Slice 87/155.
FLAIR MRI.
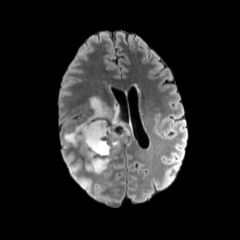
T1-weighted MR image.
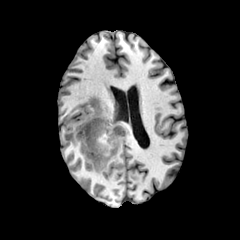
Post-contrast T1-weighted magnetic resonance.
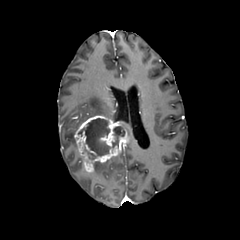
T2-weighted MR.
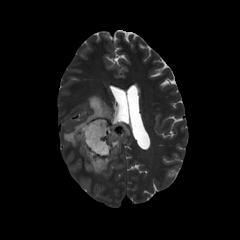
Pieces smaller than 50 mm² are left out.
<segmentation>
  <enhancing_tumor>x1=74, y1=115, x2=127, y2=172</enhancing_tumor>
  <peritumoral_edema>x1=64, y1=122, x2=82, y2=146; x1=94, y1=160, x2=109, y2=174; x1=86, y1=96, x2=118, y2=119</peritumoral_edema>
  <necrotic_tumor_core>x1=78, y1=118, x2=124, y2=159</necrotic_tumor_core>
</segmentation>